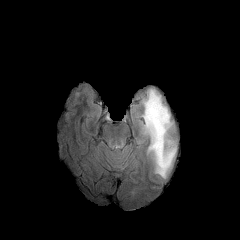
FLAIR MR image.
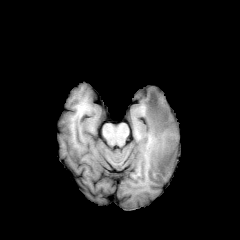
T1-weighted magnetic resonance of the same slice.
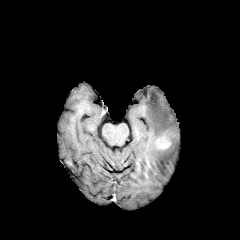
Same slice, post-contrast T1-weighted MR image.
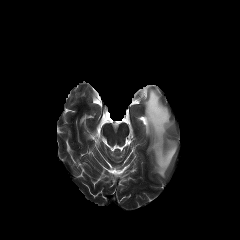
T2-weighted MR image.
Axial view; Head
enhancing tumor = (left=157, top=136, right=170, bottom=149)
peritumoral edema = (left=142, top=88, right=176, bottom=178)